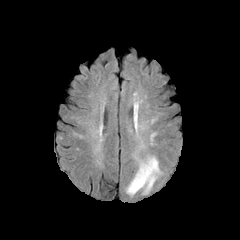
FLAIR magnetic resonance.
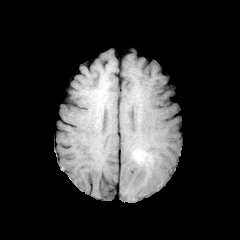
Same slice, T1-weighted MR.
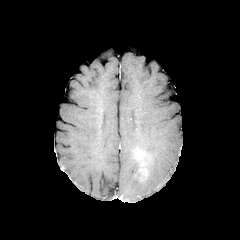
Post-contrast T1-weighted magnetic resonance.
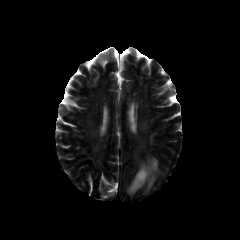
T2-weighted MR.
240x240, Head
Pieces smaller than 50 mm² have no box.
{"peritumoral_edema": ["left=126, top=156, right=161, bottom=195"], "enhancing_tumor": ["left=139, top=167, right=147, bottom=180"]}